FLAIR MR image.
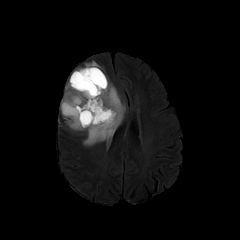
T1-weighted MRI.
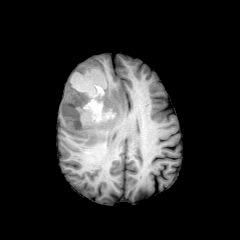
Post-contrast T1-weighted MR.
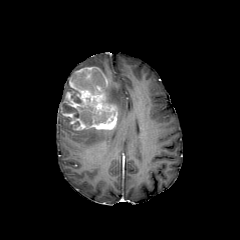
T2-weighted MRI.
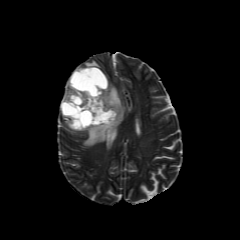
240x240 px
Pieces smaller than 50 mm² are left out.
<segmentation>
  <necrotic_tumor_core><bbox>63, 103, 94, 124</bbox>, <bbox>72, 69, 105, 92</bbox>, <bbox>71, 91, 81, 103</bbox>, <bbox>95, 112, 108, 123</bbox></necrotic_tumor_core>
  <enhancing_tumor><bbox>73, 67, 108, 87</bbox>, <bbox>61, 76, 118, 130</bbox></enhancing_tumor>
  <peritumoral_edema><bbox>62, 115, 72, 129</bbox>, <bbox>75, 60, 102, 71</bbox>, <bbox>80, 79, 125, 146</bbox>, <bbox>60, 81, 75, 111</bbox></peritumoral_edema>
</segmentation>